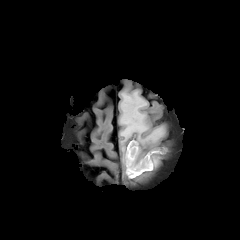
FLAIR MRI.
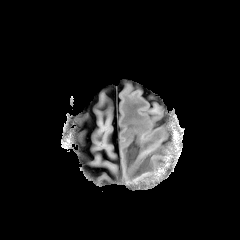
T1-weighted MRI.
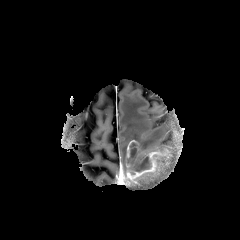
Post-contrast T1-weighted magnetic resonance of the same slice.
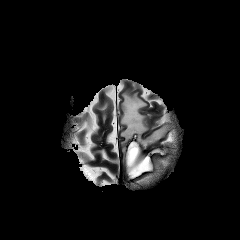
T2-weighted MRI.
Axial view
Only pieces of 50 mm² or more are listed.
Annotated regions:
- necrotic tumor core: {"x1": 127, "y1": 143, "x2": 150, "y2": 171}
- peritumoral edema: {"x1": 120, "y1": 92, "x2": 164, "y2": 146}, {"x1": 122, "y1": 146, "x2": 126, "y2": 166}
- enhancing tumor: {"x1": 126, "y1": 140, "x2": 166, "y2": 179}